240x240. Slice index 72. Image width 240 mm.
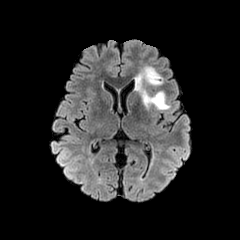
FLAIR MR image.
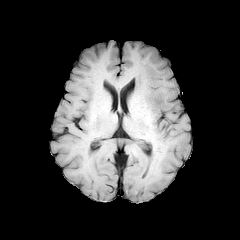
T1-weighted MR image of the same slice.
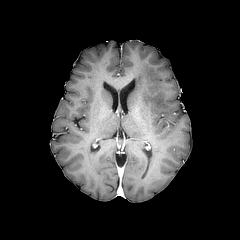
Same slice, post-contrast T1-weighted magnetic resonance.
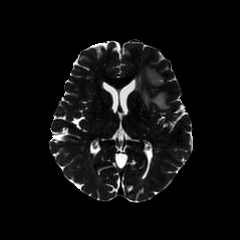
Same slice, T2-weighted MRI.
The peritumoral edema is located at left=135, top=66, right=169, bottom=109.